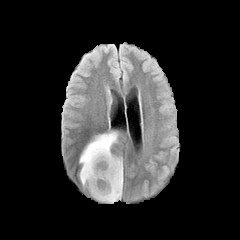
FLAIR MRI.
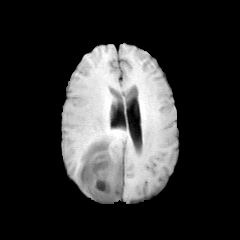
T1-weighted MR image.
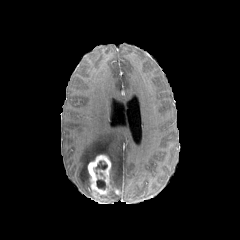
Post-contrast T1-weighted MRI.
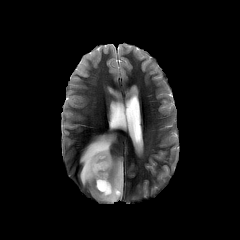
T2-weighted MRI.
Axial view; Head; 240x240
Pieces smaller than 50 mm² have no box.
The 2 largest necrotic tumor core regions are bounded by rect(96, 179, 105, 189); rect(96, 161, 107, 169). 2 peritumoral edema regions appear at rect(110, 191, 121, 201); rect(79, 132, 126, 192). The enhancing tumor is at rect(88, 154, 121, 203).